FLAIR magnetic resonance.
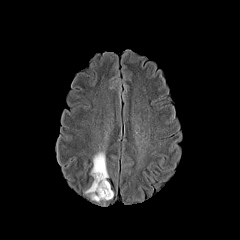
T1-weighted MR image.
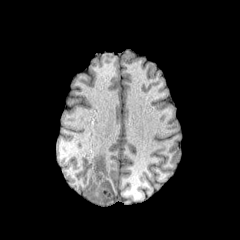
Post-contrast T1-weighted MR.
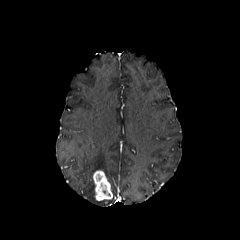
T2-weighted MRI.
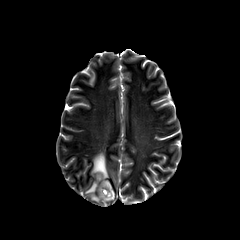
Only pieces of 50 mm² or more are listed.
necrotic_tumor_core:
  - x1=98, y1=182, x2=111, y2=197
  - x1=95, y1=174, x2=103, y2=182
enhancing_tumor:
  - x1=93, y1=170, x2=112, y2=200
peritumoral_edema:
  - x1=85, y1=180, x2=100, y2=202
  - x1=90, y1=151, x2=109, y2=178